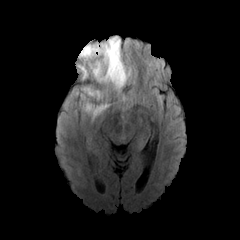
FLAIR magnetic resonance.
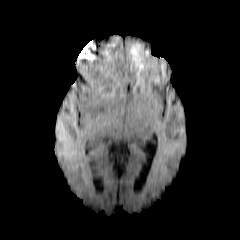
Same slice, T1-weighted MR image.
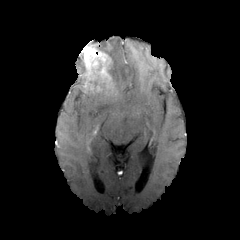
Post-contrast T1-weighted magnetic resonance.
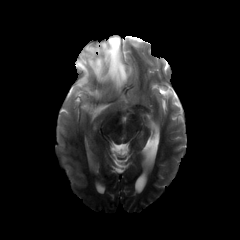
Same slice, T2-weighted MR image.
Image size 240x240; Head
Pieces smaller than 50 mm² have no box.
Findings:
* peritumoral edema: 101:37:130:100, 76:85:108:119, 78:52:86:73
* enhancing tumor: 78:47:111:89